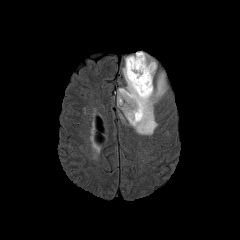
FLAIR MR image.
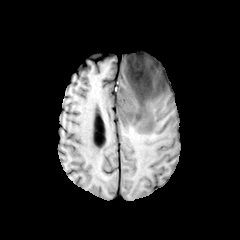
Same slice, T1-weighted MR.
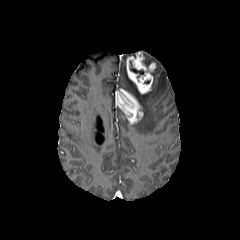
Post-contrast T1-weighted magnetic resonance.
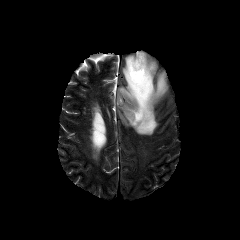
T2-weighted MR image.
Brain, Axial slice
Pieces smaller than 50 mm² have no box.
necrotic tumor core: (130,61,144,77)
peritumoral edema: (121,57,167,135), (143,53,155,63)
enhancing tumor: (115,88,143,123), (126,52,155,94)